240x240 px | Brain
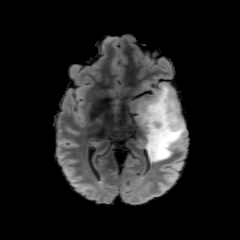
FLAIR MR image.
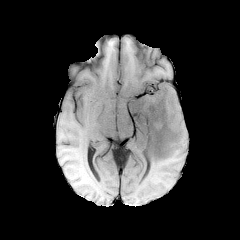
T1-weighted MR image.
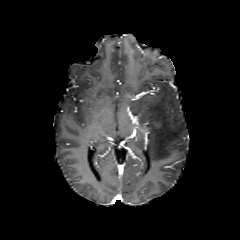
Same slice, post-contrast T1-weighted magnetic resonance.
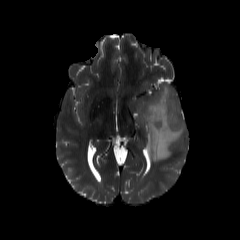
T2-weighted MRI.
The peritumoral edema is at 136:85:186:162.